Image size 240x240 | Image covers 240 mm x 240 mm | Slice 93 of 155 | Head
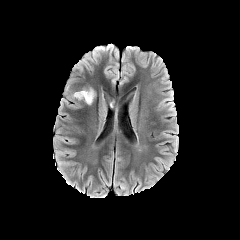
FLAIR magnetic resonance.
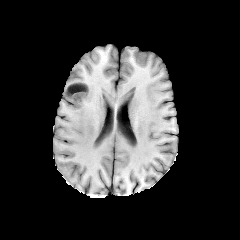
T1-weighted MR image.
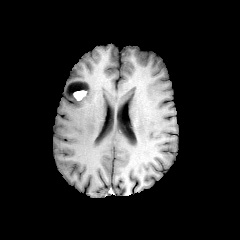
Post-contrast T1-weighted MR.
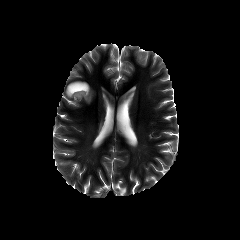
T2-weighted MR.
necrotic tumor core: bounding box box(68, 83, 87, 94)
enhancing tumor: bounding box box(73, 90, 86, 100)
peritumoral edema: bounding box box(82, 87, 95, 104); box(65, 85, 75, 99)